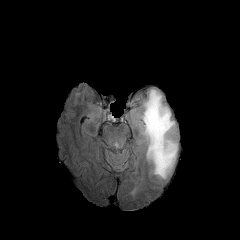
FLAIR MRI.
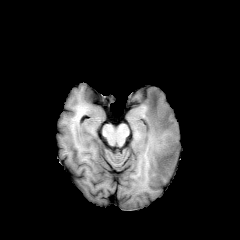
T1-weighted magnetic resonance.
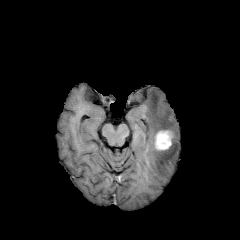
Post-contrast T1-weighted MR image.
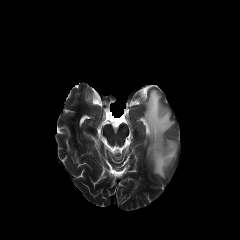
T2-weighted MR of the same slice.
Axial view. Image size 240x240.
peritumoral edema: (x1=141, y1=89, x2=177, y2=178)
enhancing tumor: (x1=155, y1=130, x2=171, y2=150)